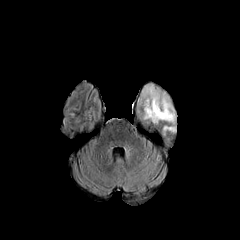
FLAIR MRI.
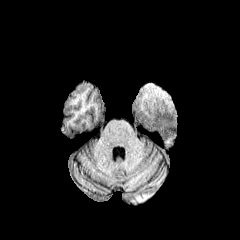
T1-weighted MRI of the same slice.
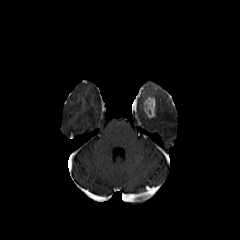
Post-contrast T1-weighted MR of the same slice.
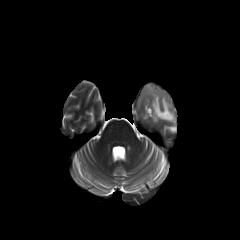
T2-weighted MR.
Image size 240x240
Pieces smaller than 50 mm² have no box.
The enhancing tumor is located at (144, 97, 155, 118). The 2 largest peritumoral edema regions appear at (139, 85, 175, 124), (163, 125, 176, 133).